FLAIR MRI.
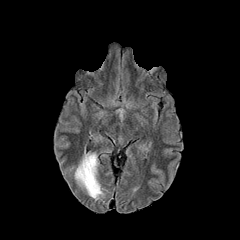
T1-weighted magnetic resonance.
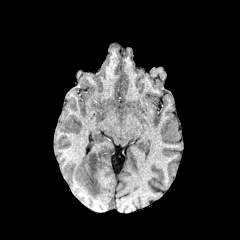
Post-contrast T1-weighted MR.
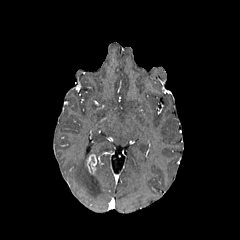
T2-weighted magnetic resonance.
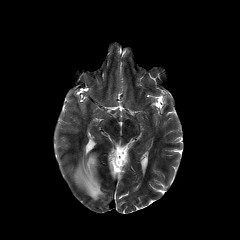
240x240
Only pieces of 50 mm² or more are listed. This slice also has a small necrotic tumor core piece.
peritumoral edema — {"x1": 74, "y1": 152, "x2": 104, "y2": 200}
enhancing tumor — {"x1": 86, "y1": 154, "x2": 96, "y2": 174}